Brain, Axial view
FLAIR MR.
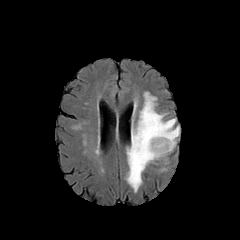
T1-weighted MR.
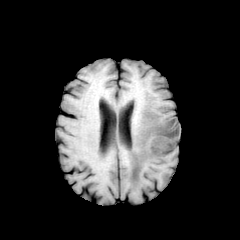
Post-contrast T1-weighted MR image.
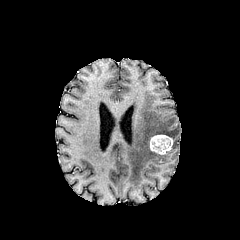
T2-weighted MR image.
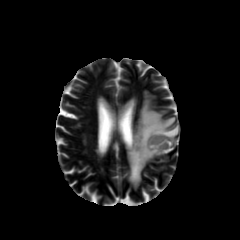
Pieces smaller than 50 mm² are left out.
Findings:
* peritumoral edema: [126,92,179,192]
* enhancing tumor: [149,134,173,154]